Image width 240 mm, 240x240 px, Brain
FLAIR MR.
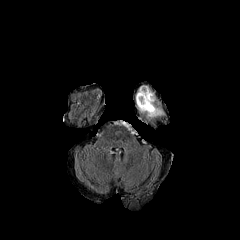
T1-weighted MRI.
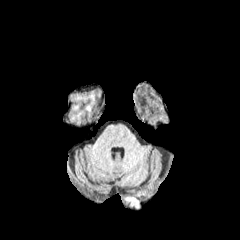
Post-contrast T1-weighted MR image.
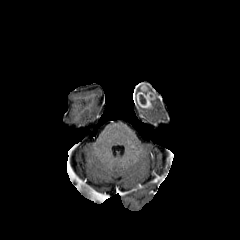
T2-weighted magnetic resonance.
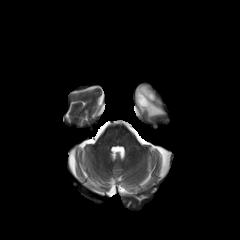
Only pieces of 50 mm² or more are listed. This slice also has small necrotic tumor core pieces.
enhancing_tumor:
  - (136, 84, 155, 108)
peritumoral_edema:
  - (137, 99, 164, 118)